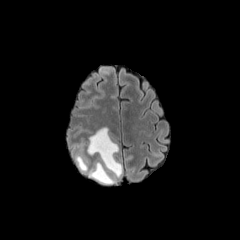
FLAIR MRI.
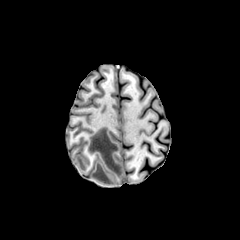
T1-weighted magnetic resonance.
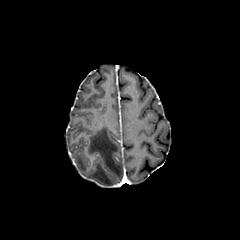
Post-contrast T1-weighted magnetic resonance of the same slice.
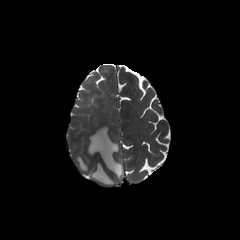
T2-weighted MRI of the same slice.
Head.
2 peritumoral edema regions are bounded by 76,155,87,172; 87,127,122,184.